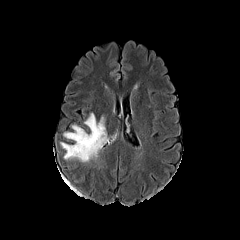
FLAIR MR image.
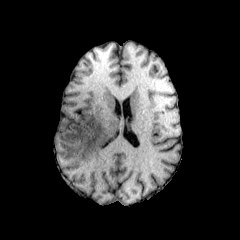
T1-weighted MR image of the same slice.
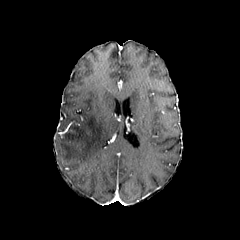
Post-contrast T1-weighted MRI.
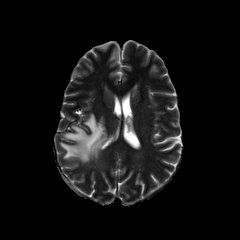
T2-weighted MRI.
Axial view | Brain
peritumoral edema = {"x1": 60, "y1": 113, "x2": 108, "y2": 162}